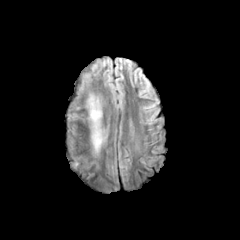
FLAIR MR image.
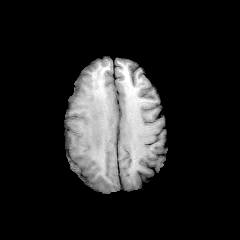
Same slice, T1-weighted MR.
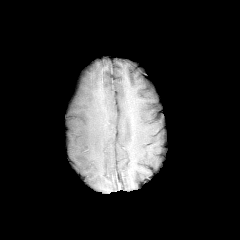
Post-contrast T1-weighted MR of the same slice.
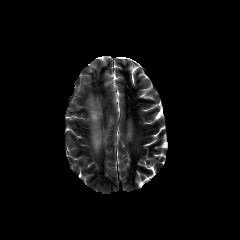
T2-weighted MR.
Head. Axial plane.
{"peritumoral_edema": ["rect(89, 98, 101, 150)"]}